Slice 119/155. Brain.
FLAIR magnetic resonance.
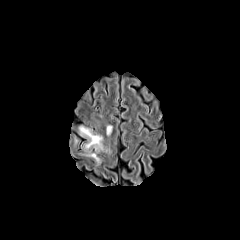
T1-weighted MR.
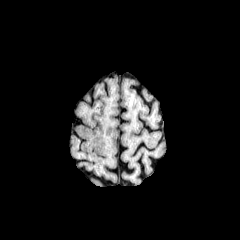
Post-contrast T1-weighted MR.
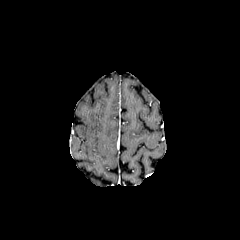
T2-weighted MR image.
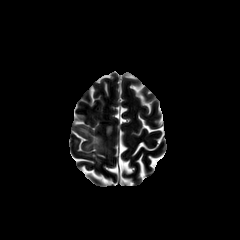
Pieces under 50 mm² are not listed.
peritumoral edema: bounding box x1=87 y1=153 x2=100 y2=164, x1=79 y1=126 x2=107 y2=151, x1=106 y1=125 x2=112 y2=135